Slice 78/155, Brain
FLAIR MR image.
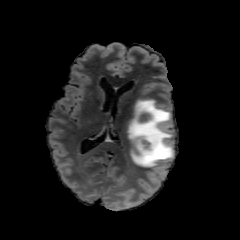
T1-weighted MR.
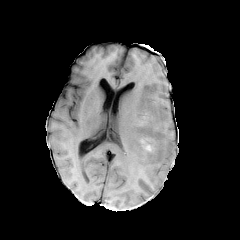
Post-contrast T1-weighted magnetic resonance.
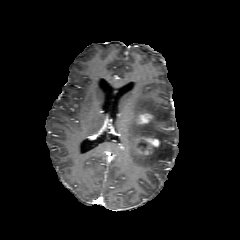
T2-weighted magnetic resonance.
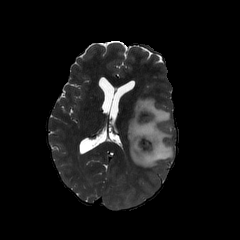
Segmented structures:
• necrotic tumor core: region(137, 141, 145, 150)
• enhancing tumor: region(130, 130, 161, 158); region(135, 113, 165, 132)
• peritumoral edema: region(127, 98, 173, 168)